Brain. Axial slice.
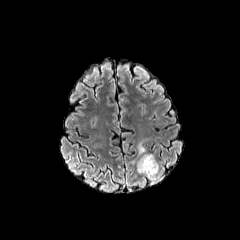
FLAIR MR image.
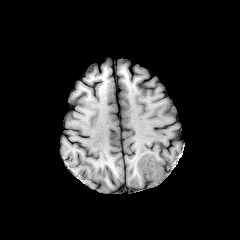
T1-weighted MR image of the same slice.
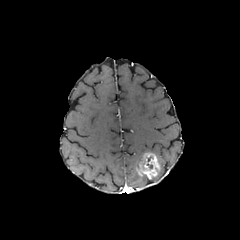
Post-contrast T1-weighted MRI.
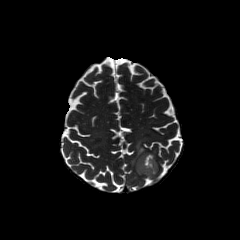
T2-weighted MR.
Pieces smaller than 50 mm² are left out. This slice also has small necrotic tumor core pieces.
peritumoral_edema:
  - region(138, 143, 145, 154)
enhancing_tumor:
  - region(137, 153, 160, 178)